Brain. Slice 117/155.
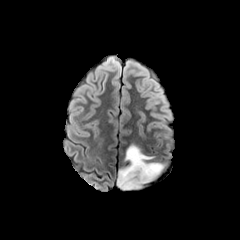
FLAIR magnetic resonance.
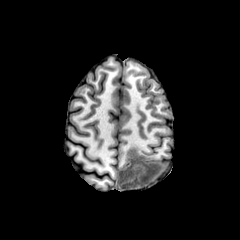
T1-weighted magnetic resonance of the same slice.
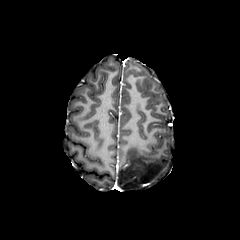
Post-contrast T1-weighted magnetic resonance.
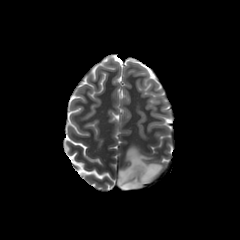
Same slice, T2-weighted MR.
The peritumoral edema is located at (left=117, top=145, right=163, bottom=189).